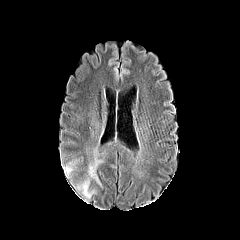
FLAIR MR image.
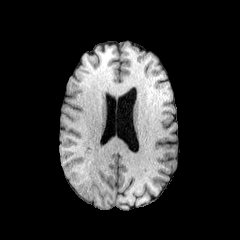
T1-weighted MR of the same slice.
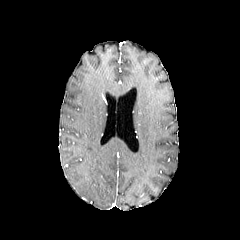
Post-contrast T1-weighted MR.
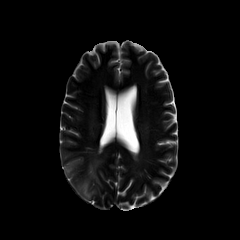
Same slice, T2-weighted magnetic resonance.
Brain; Image size 240x240
peritumoral edema: x1=64 y1=167 x2=72 y2=174, x1=88 y1=160 x2=100 y2=184, x1=77 y1=178 x2=94 y2=198